FLAIR magnetic resonance.
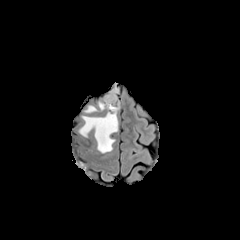
T1-weighted MRI.
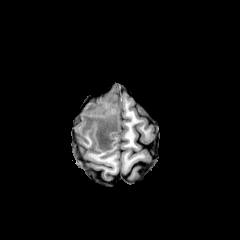
Post-contrast T1-weighted magnetic resonance.
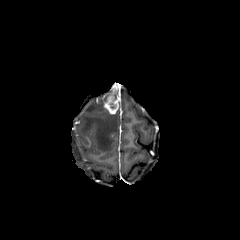
T2-weighted magnetic resonance.
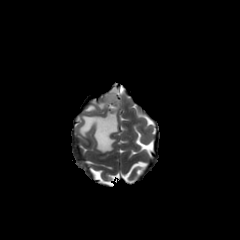
Axial view.
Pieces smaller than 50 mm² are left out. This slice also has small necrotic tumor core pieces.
The enhancing tumor is at (104, 83, 120, 114). The 2 largest peritumoral edema regions appear at (85, 105, 96, 112), (80, 112, 117, 153).